Slice index 109 | 240x240 px
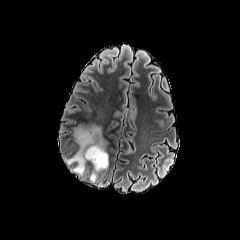
FLAIR magnetic resonance.
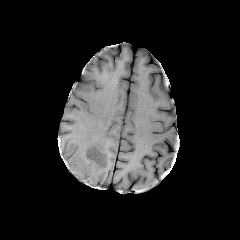
Same slice, T1-weighted MRI.
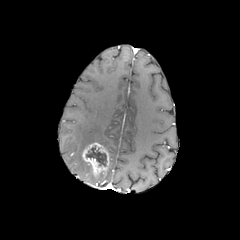
Post-contrast T1-weighted MR of the same slice.
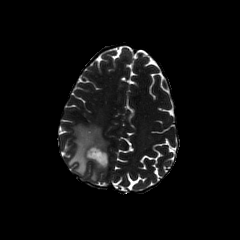
T2-weighted MRI.
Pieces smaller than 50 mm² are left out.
necrotic_tumor_core:
  - [86, 146, 106, 166]
peritumoral_edema:
  - [65, 125, 108, 175]
enhancing_tumor:
  - [82, 142, 109, 176]